Axial view, Image width 240 mm
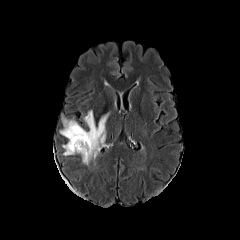
FLAIR magnetic resonance.
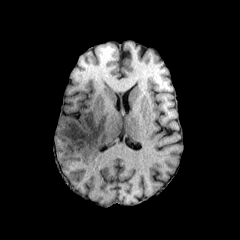
T1-weighted MRI of the same slice.
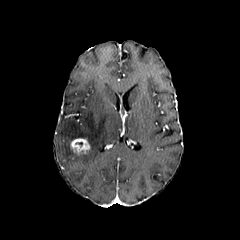
Same slice, post-contrast T1-weighted MRI.
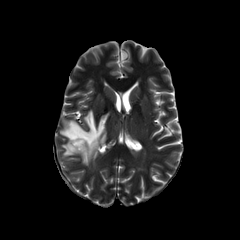
T2-weighted MR image of the same slice.
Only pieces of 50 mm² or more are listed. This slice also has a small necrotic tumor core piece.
peritumoral edema: box=[59, 110, 109, 165]
enhancing tumor: box=[70, 138, 90, 153]